FLAIR MR.
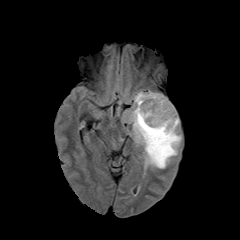
T1-weighted MR image.
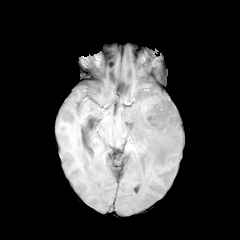
Post-contrast T1-weighted magnetic resonance.
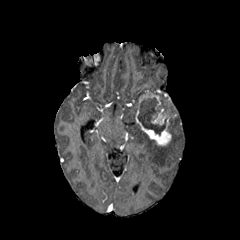
T2-weighted MR image.
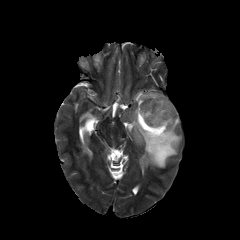
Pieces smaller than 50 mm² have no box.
peritumoral edema — (x1=149, y1=90, x2=167, y2=100), (x1=124, y1=91, x2=181, y2=168)
enhancing tumor — (x1=135, y1=91, x2=171, y2=145)
necrotic tumor core — (x1=138, y1=98, x2=175, y2=135)